Slice 110 of 155, Image covers 240 mm x 240 mm, Head
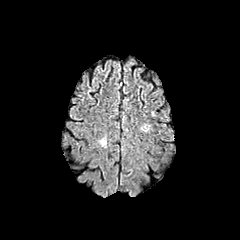
FLAIR MR image.
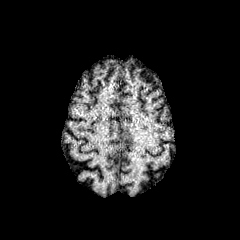
T1-weighted magnetic resonance.
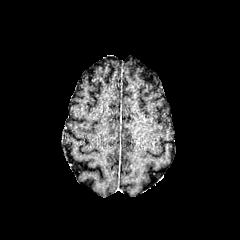
Post-contrast T1-weighted MRI of the same slice.
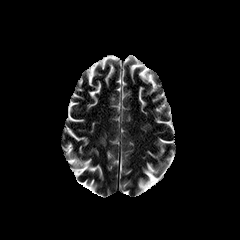
T2-weighted MR image.
peritumoral edema: bbox(99, 136, 106, 146); bbox(141, 124, 150, 132)